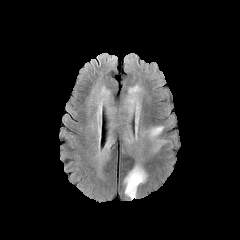
FLAIR MR.
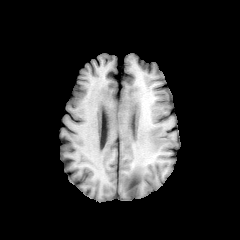
T1-weighted MRI of the same slice.
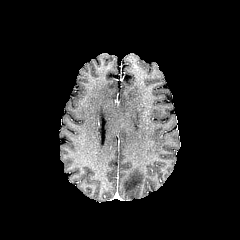
Post-contrast T1-weighted MR of the same slice.
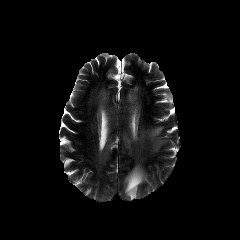
T2-weighted magnetic resonance of the same slice.
Brain. Axial plane.
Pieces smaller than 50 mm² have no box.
The 5 largest peritumoral edema regions are bounded by 148, 126, 164, 151; 105, 137, 111, 149; 124, 85, 140, 139; 96, 89, 108, 135; 124, 165, 146, 199.